Image covers 240 mm x 240 mm, Axial view
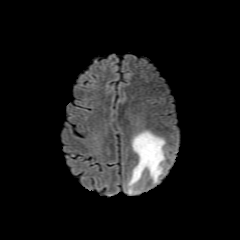
FLAIR MR.
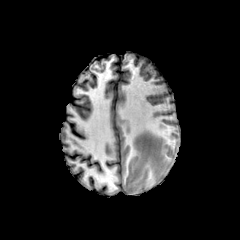
Same slice, T1-weighted MRI.
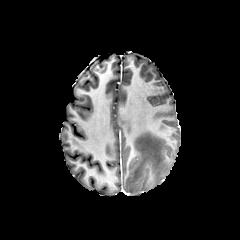
Same slice, post-contrast T1-weighted MR image.
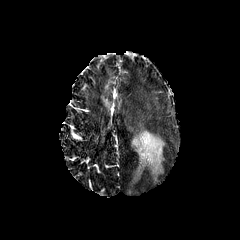
Same slice, T2-weighted MRI.
peritumoral edema: [128,130,165,193]